FLAIR MR image.
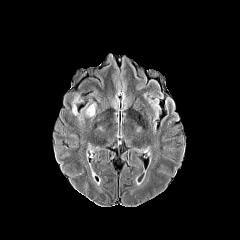
T1-weighted magnetic resonance.
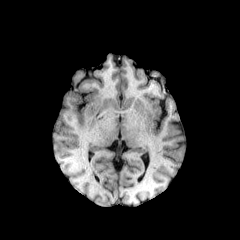
Post-contrast T1-weighted MR image.
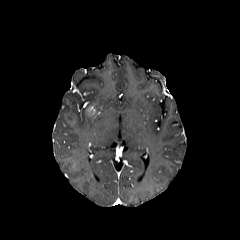
T2-weighted MRI.
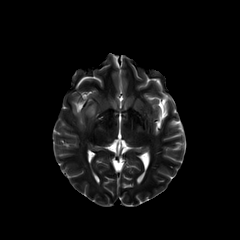
Head.
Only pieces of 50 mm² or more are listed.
Findings:
- enhancing tumor: <bbox>86, 105, 95, 115</bbox>
- peritumoral edema: <bbox>72, 96, 78, 115</bbox>